Slice 57 of 155; Head; Axial view
FLAIR MRI.
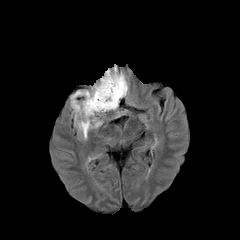
T1-weighted MR.
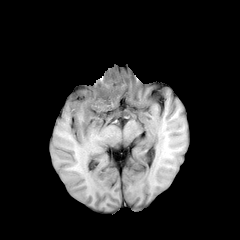
Post-contrast T1-weighted MRI.
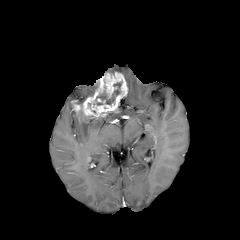
T2-weighted MR.
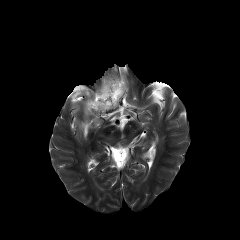
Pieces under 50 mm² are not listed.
{"peritumoral_edema": ["<bbox>71, 90, 94, 100</bbox>", "<bbox>74, 112, 101, 139</bbox>"], "necrotic_tumor_core": ["<bbox>93, 82, 121, 105</bbox>"], "enhancing_tumor": ["<bbox>71, 72, 127, 121</bbox>"]}